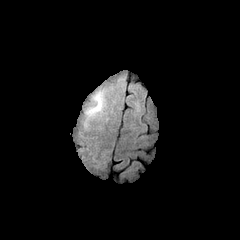
FLAIR MRI.
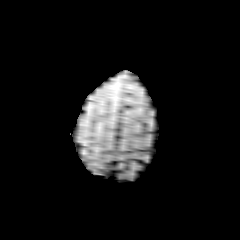
T1-weighted MR image.
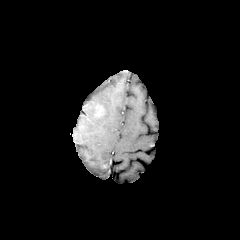
Post-contrast T1-weighted MR image of the same slice.
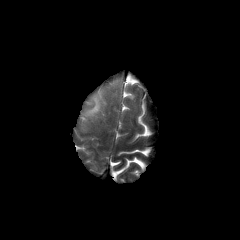
T2-weighted MR.
Head; 240x240
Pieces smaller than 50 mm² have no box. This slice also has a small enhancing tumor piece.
The largest peritumoral edema region is located at <bbox>85, 88, 107, 121</bbox>.